Slice 88/155, Head, Axial slice
FLAIR MR.
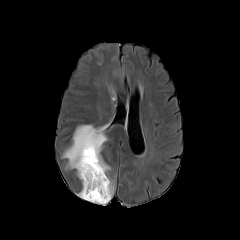
T1-weighted MR image.
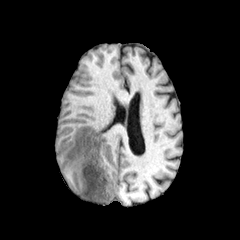
Post-contrast T1-weighted MRI.
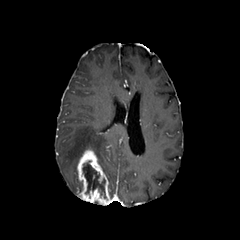
T2-weighted MR.
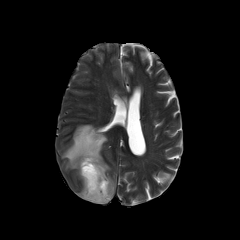
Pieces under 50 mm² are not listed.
peritumoral edema: bbox=[62, 123, 115, 198] | enhancing tumor: bbox=[77, 149, 110, 205] | necrotic tumor core: bbox=[83, 163, 106, 198]